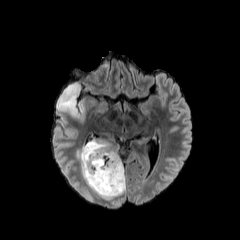
FLAIR MRI.
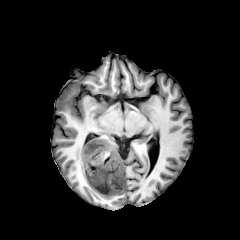
T1-weighted MRI.
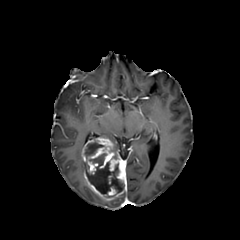
Post-contrast T1-weighted magnetic resonance.
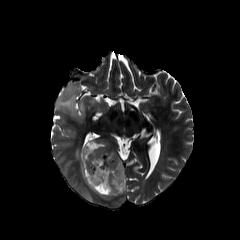
Same slice, T2-weighted MRI.
Head
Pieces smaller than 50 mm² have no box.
{
  "necrotic_tumor_core": [
    "x1=86 y1=153 x2=124 y2=194",
    "x1=85 y1=142 x2=104 y2=157"
  ],
  "peritumoral_edema": [
    "x1=83 y1=187 x2=99 y2=201",
    "x1=77 y1=150 x2=85 y2=178",
    "x1=57 y1=83 x2=80 y2=116",
    "x1=79 y1=100 x2=84 y2=114"
  ],
  "enhancing_tumor": [
    "x1=81 y1=138 x2=126 y2=201"
  ]
}